Image size 240x240. Slice 86/155. Axial slice.
FLAIR MRI.
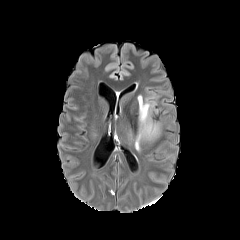
T1-weighted MR image.
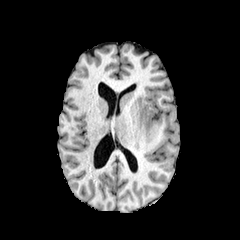
Post-contrast T1-weighted MRI.
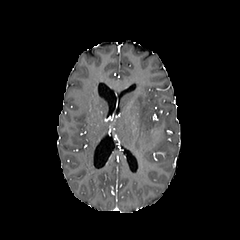
T2-weighted MR image.
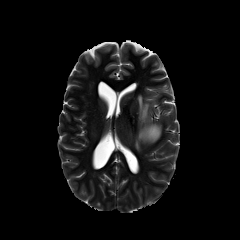
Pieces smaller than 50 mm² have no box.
{
  "peritumoral_edema": [
    "(x1=134, y1=87, x2=160, y2=150)"
  ]
}